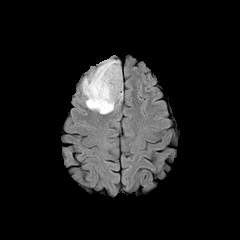
FLAIR MRI.
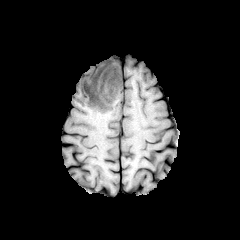
T1-weighted MRI.
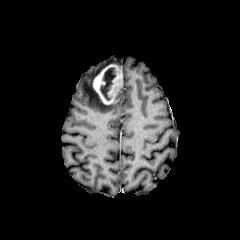
Post-contrast T1-weighted MR.
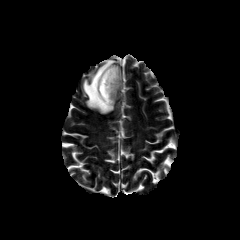
T2-weighted magnetic resonance of the same slice.
enhancing tumor at region(92, 64, 122, 104)
necrotic tumor core at region(100, 67, 115, 100)
peritumoral edema at region(81, 58, 122, 114)